FLAIR magnetic resonance.
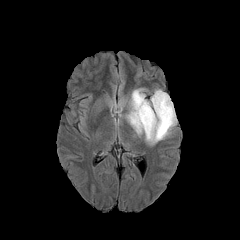
T1-weighted MR image.
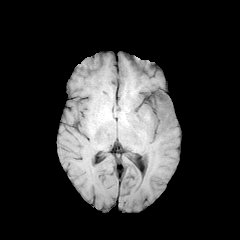
Post-contrast T1-weighted MRI.
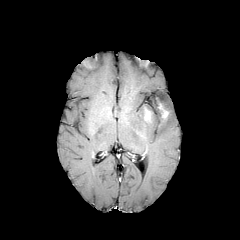
T2-weighted MRI.
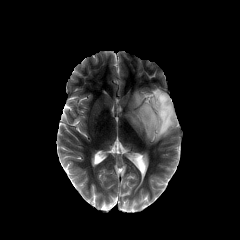
Axial plane
enhancing tumor: bounding box box=[157, 101, 169, 120]; box=[144, 107, 152, 121]
peritumoral edema: bounding box box=[126, 89, 177, 143]